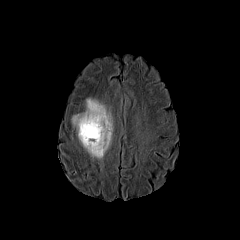
FLAIR MR image.
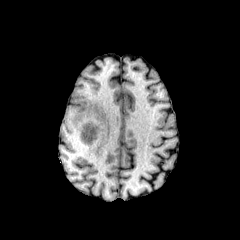
Same slice, T1-weighted MR image.
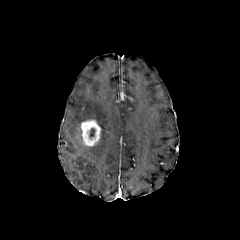
Post-contrast T1-weighted MRI.
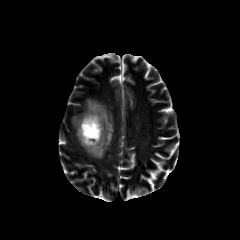
T2-weighted MR.
Brain. Axial view.
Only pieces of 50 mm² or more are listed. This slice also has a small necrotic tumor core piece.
Findings:
- peritumoral edema: (left=72, top=98, right=112, bottom=158)
- enhancing tumor: (left=80, top=119, right=101, bottom=146)